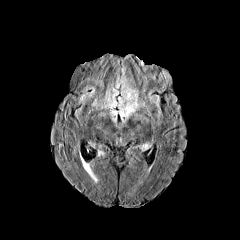
FLAIR magnetic resonance.
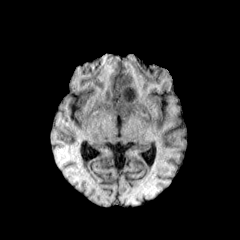
T1-weighted MRI.
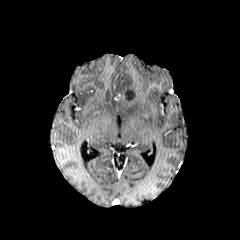
Post-contrast T1-weighted MR.
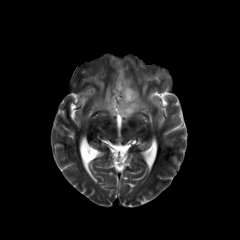
Same slice, T2-weighted MR image.
Brain | Axial slice
The necrotic tumor core is at bbox(125, 88, 135, 100). The peritumoral edema is located at bbox(101, 67, 144, 121). The enhancing tumor is at bbox(122, 86, 138, 106).